FLAIR MRI.
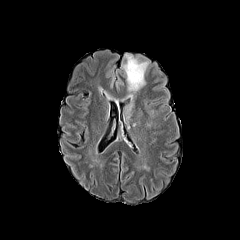
T1-weighted MRI.
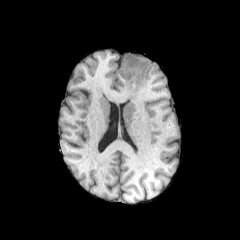
Post-contrast T1-weighted MR image.
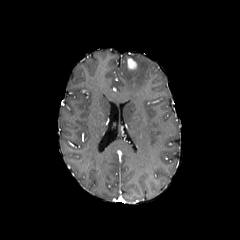
T2-weighted MR.
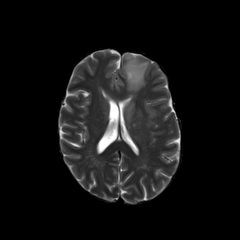
Image size 240x240; Head
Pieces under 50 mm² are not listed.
enhancing_tumor:
  - rect(127, 58, 136, 69)
peritumoral_edema:
  - rect(123, 101, 134, 121)
  - rect(122, 55, 149, 92)